FLAIR MRI.
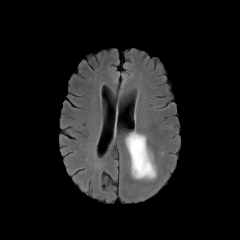
T1-weighted magnetic resonance.
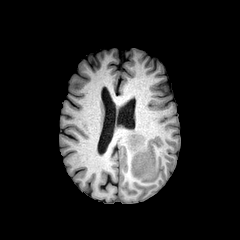
Post-contrast T1-weighted MR image.
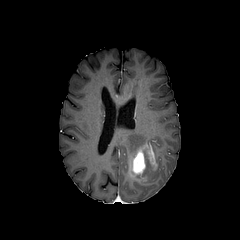
T2-weighted MRI.
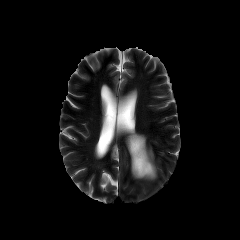
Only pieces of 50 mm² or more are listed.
The enhancing tumor is at rect(130, 145, 156, 177). The 2 largest peritumoral edema regions are located at rect(125, 131, 146, 163); rect(134, 147, 156, 179).